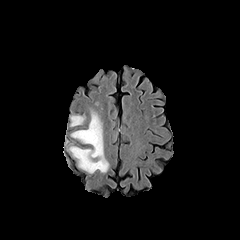
FLAIR MRI.
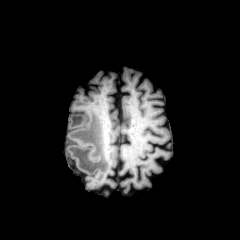
T1-weighted MRI of the same slice.
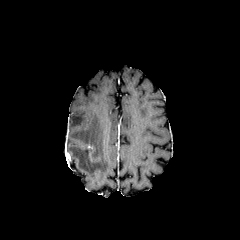
Post-contrast T1-weighted magnetic resonance.
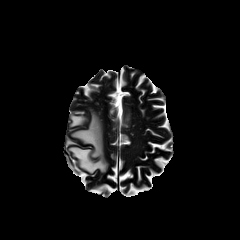
T2-weighted MRI.
peritumoral edema — bbox(69, 110, 108, 173); bbox(70, 115, 85, 126)